Axial view
FLAIR MRI.
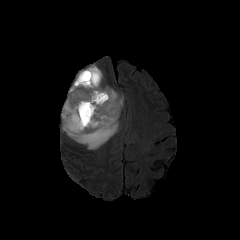
T1-weighted MR image.
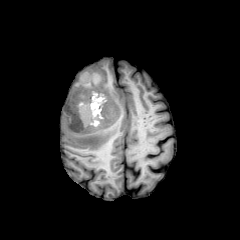
Post-contrast T1-weighted magnetic resonance.
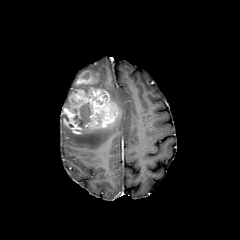
T2-weighted MR.
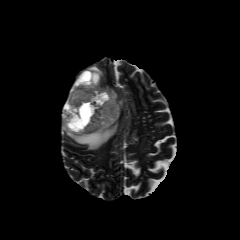
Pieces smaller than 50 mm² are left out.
enhancing tumor: bbox=[62, 87, 120, 134]; bbox=[74, 70, 98, 85] | necrotic tumor core: bbox=[82, 72, 95, 79]; bbox=[74, 103, 91, 128] | peritumoral edema: bbox=[61, 114, 118, 149]; bbox=[68, 65, 123, 112]